Axial view. Brain. Image covers 240 mm x 240 mm. Slice 59/155.
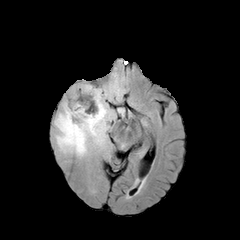
FLAIR MR image.
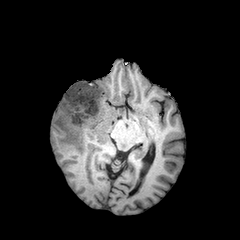
T1-weighted magnetic resonance.
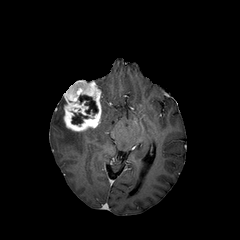
Post-contrast T1-weighted MR.
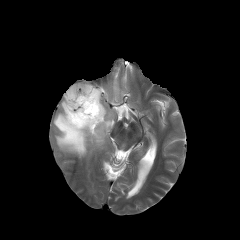
Same slice, T2-weighted MR.
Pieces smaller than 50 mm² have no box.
necrotic tumor core = box=[72, 113, 88, 124]; box=[79, 95, 97, 114]
peritumoral edema = box=[54, 83, 119, 157]
enhancing tumor = box=[63, 80, 101, 131]